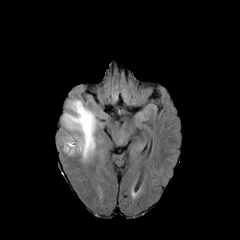
FLAIR MR image.
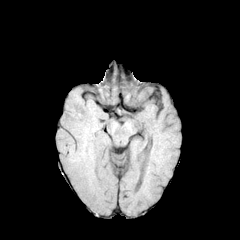
T1-weighted MR image.
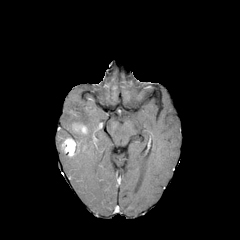
Post-contrast T1-weighted MR image.
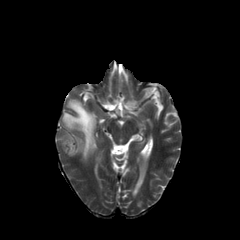
Same slice, T2-weighted MR image.
240x240 px.
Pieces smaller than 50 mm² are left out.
<segmentation>
  <enhancing_tumor>[x1=73, y1=124, x2=87, y2=133], [x1=62, y1=137, x2=79, y2=156]</enhancing_tumor>
  <peritumoral_edema>[x1=62, y1=99, x2=98, y2=161]</peritumoral_edema>
</segmentation>